Head; 240x240 px; Slice 47/155
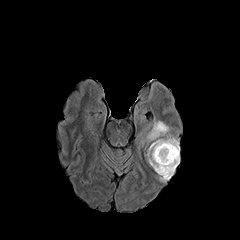
FLAIR magnetic resonance.
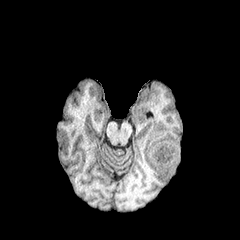
T1-weighted MRI of the same slice.
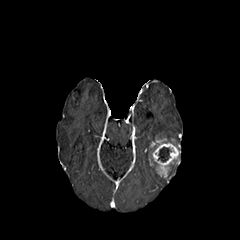
Same slice, post-contrast T1-weighted MR image.
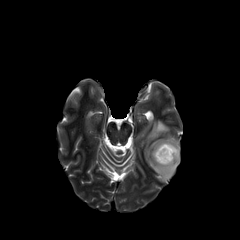
T2-weighted MRI.
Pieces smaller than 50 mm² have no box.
<segmentation>
  <enhancing_tumor>[149, 138, 179, 178]</enhancing_tumor>
  <peritumoral_edema>[159, 164, 178, 182], [146, 121, 173, 142]</peritumoral_edema>
  <necrotic_tumor_core>[158, 147, 171, 162]</necrotic_tumor_core>
</segmentation>